Head. Image size 240x240. Axial slice.
FLAIR magnetic resonance.
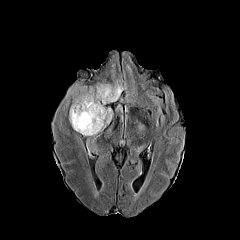
T1-weighted MRI.
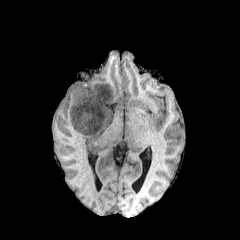
Post-contrast T1-weighted MR image.
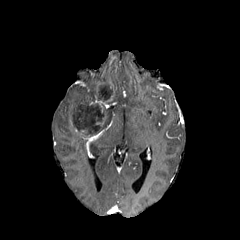
T2-weighted MRI.
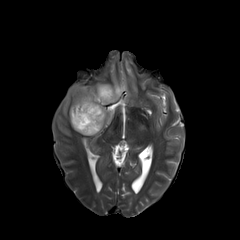
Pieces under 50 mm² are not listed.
<segmentation>
  <peritumoral_edema>x1=69, y1=82, x2=126, y2=128; x1=103, y1=108, x2=112, y2=128; x1=66, y1=85, x2=77, y2=99</peritumoral_edema>
  <necrotic_tumor_core>x1=71, y1=103, x2=104, y2=134; x1=97, y1=85, x2=117, y2=103</necrotic_tumor_core>
  <enhancing_tumor>x1=89, y1=95, x2=105, y2=112</enhancing_tumor>
</segmentation>